FLAIR MRI.
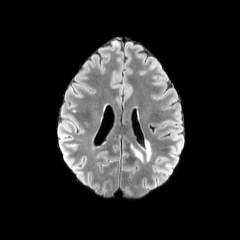
T1-weighted magnetic resonance.
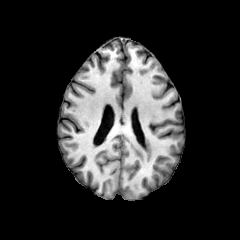
Post-contrast T1-weighted magnetic resonance.
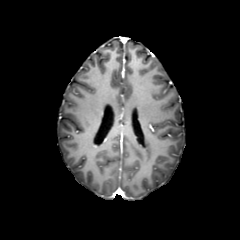
T2-weighted magnetic resonance.
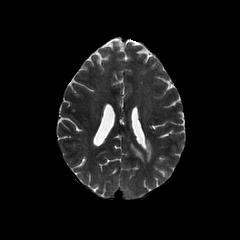
Image size 240x240, Axial plane, Head
peritumoral_edema:
  - box=[129, 140, 153, 163]